Axial slice; Slice index 76
FLAIR MR.
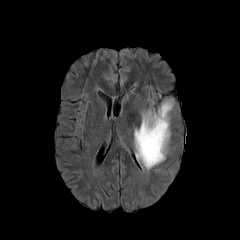
T1-weighted MRI.
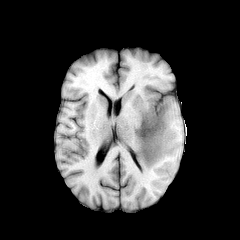
Post-contrast T1-weighted MRI.
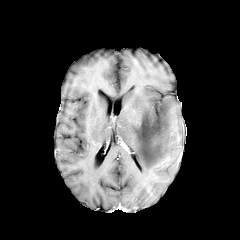
T2-weighted MR.
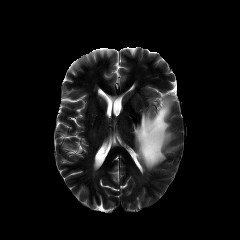
peritumoral edema = 134:98:173:170